FLAIR magnetic resonance.
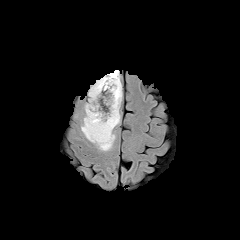
T1-weighted magnetic resonance.
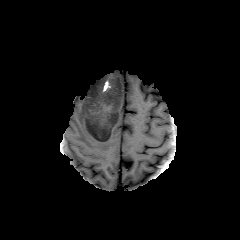
Post-contrast T1-weighted MR.
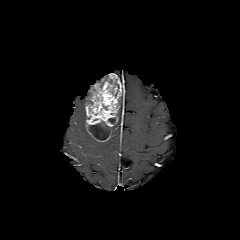
T2-weighted MRI.
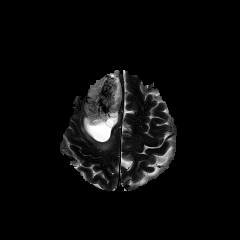
Axial view.
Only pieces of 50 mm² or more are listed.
<segmentation>
  <enhancing_tumor>[85,73,122,141]</enhancing_tumor>
  <necrotic_tumor_core>[89,122,110,140]</necrotic_tumor_core>
  <peritumoral_edema>[81,109,120,151]</peritumoral_edema>
</segmentation>